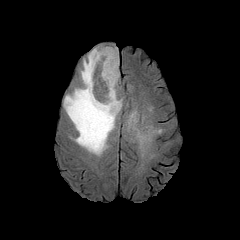
FLAIR MR image.
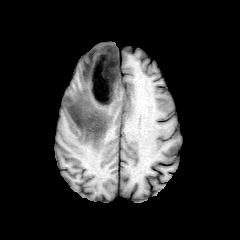
Same slice, T1-weighted MR.
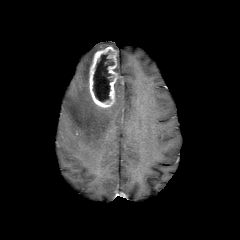
Post-contrast T1-weighted MRI.
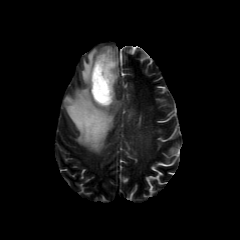
Same slice, T2-weighted MR.
Axial slice
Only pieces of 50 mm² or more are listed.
{"enhancing_tumor": ["x1=89 y1=46 x2=118 y2=107"], "necrotic_tumor_core": ["x1=93 y1=54 x2=114 y2=101"], "peritumoral_edema": ["x1=63 y1=47 x2=122 y2=154"]}